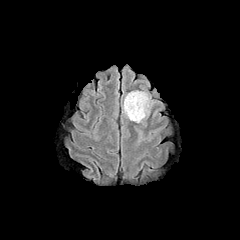
FLAIR MR image.
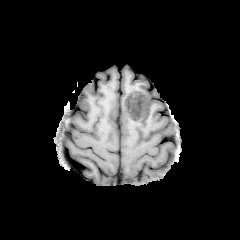
T1-weighted MR image of the same slice.
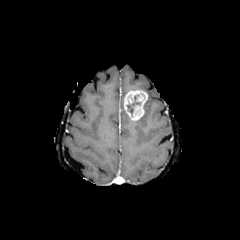
Post-contrast T1-weighted magnetic resonance of the same slice.
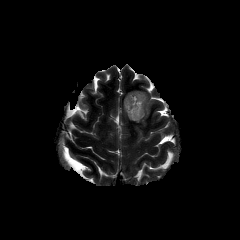
Same slice, T2-weighted MRI.
Brain
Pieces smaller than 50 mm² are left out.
The largest peritumoral edema region is at {"x1": 134, "y1": 94, "x2": 154, "y2": 122}. The necrotic tumor core is located at {"x1": 127, "y1": 96, "x2": 140, "y2": 113}. The enhancing tumor is at {"x1": 123, "y1": 90, "x2": 147, "y2": 120}.